Axial slice, Head, Image size 240x240
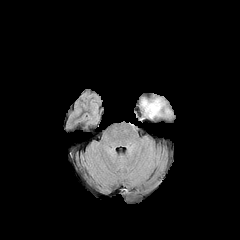
FLAIR MR.
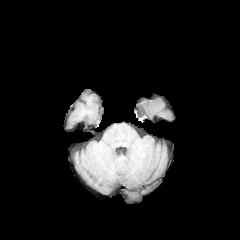
T1-weighted MR.
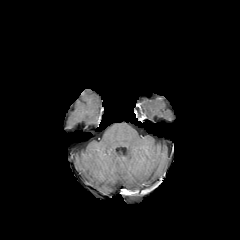
Post-contrast T1-weighted MR image.
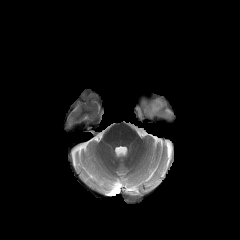
T2-weighted magnetic resonance.
peritumoral edema: left=141, top=98, right=172, bottom=118